Axial slice | Brain | Slice 48/155
FLAIR magnetic resonance.
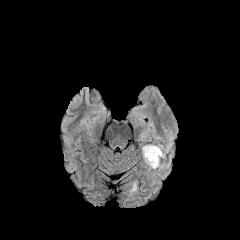
T1-weighted MR.
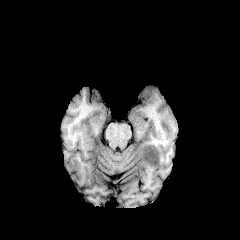
Post-contrast T1-weighted MR image.
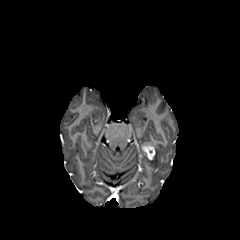
T2-weighted magnetic resonance.
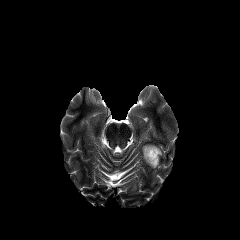
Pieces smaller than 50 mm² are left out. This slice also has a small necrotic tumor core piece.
<segmentation>
  <enhancing_tumor>l=142, t=145, r=155, b=160</enhancing_tumor>
  <peritumoral_edema>l=142, t=144, r=164, b=168</peritumoral_edema>
</segmentation>